Head. Image width 240 mm, 1.00 mm slice spacing.
FLAIR MR image.
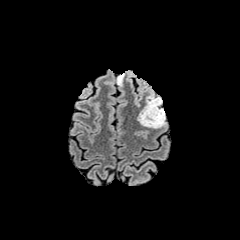
T1-weighted MR.
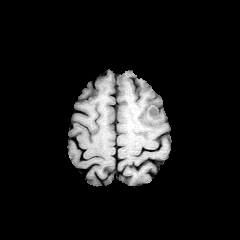
Post-contrast T1-weighted MRI.
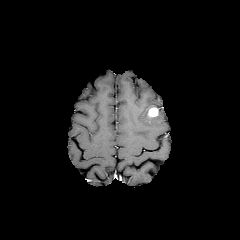
T2-weighted magnetic resonance.
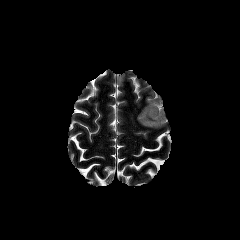
peritumoral edema: [117,73,124,86], [137,91,166,128]
enhancing tumor: [148,107,158,117]